FLAIR magnetic resonance.
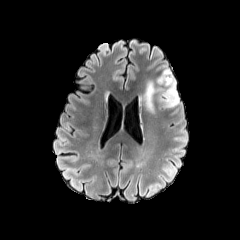
T1-weighted MRI.
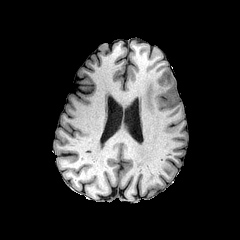
Post-contrast T1-weighted magnetic resonance.
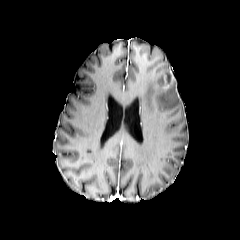
T2-weighted MR image.
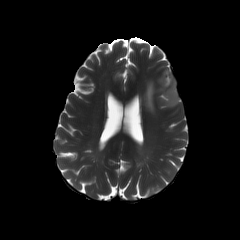
Axial slice; 240x240; Brain
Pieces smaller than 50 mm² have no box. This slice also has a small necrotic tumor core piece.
enhancing_tumor:
  - box(163, 71, 174, 87)
peritumoral_edema:
  - box(142, 74, 179, 113)